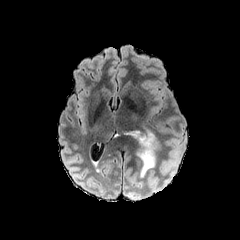
FLAIR magnetic resonance.
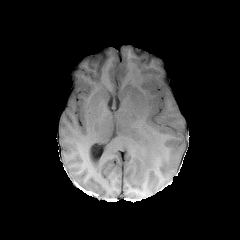
T1-weighted magnetic resonance.
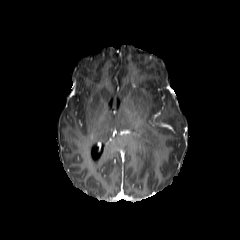
Post-contrast T1-weighted MRI.
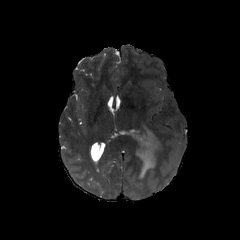
T2-weighted magnetic resonance.
Axial slice
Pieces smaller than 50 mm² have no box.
peritumoral edema at x1=123 y1=127 x2=159 y2=178